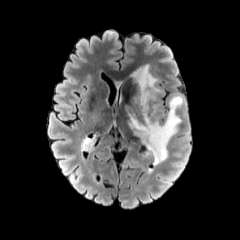
FLAIR MR image.
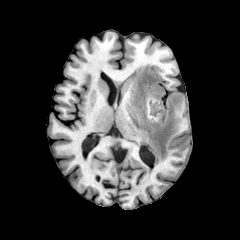
Same slice, T1-weighted MR.
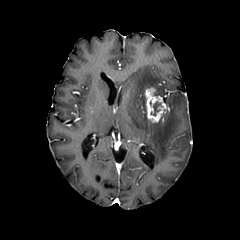
Post-contrast T1-weighted MRI.
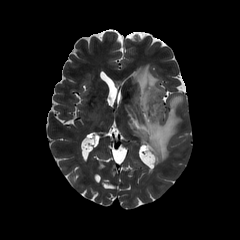
Same slice, T2-weighted magnetic resonance.
Image size 240x240.
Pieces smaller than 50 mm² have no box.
necrotic_tumor_core:
  - x1=151, y1=102, x2=160, y2=116
peritumoral_edema:
  - x1=128, y1=64, x2=183, y2=165
enhancing_tumor:
  - x1=144, y1=87, x2=165, y2=122